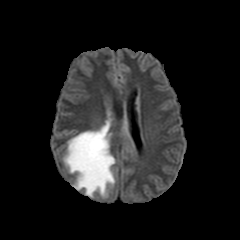
FLAIR MR image.
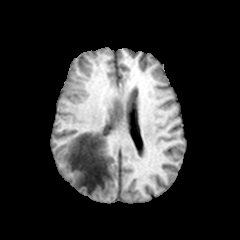
T1-weighted MR image of the same slice.
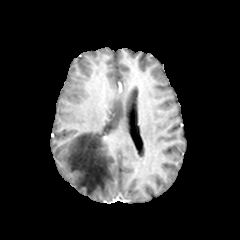
Same slice, post-contrast T1-weighted MRI.
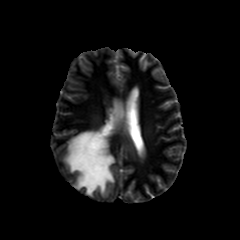
T2-weighted MR.
Brain | Axial slice
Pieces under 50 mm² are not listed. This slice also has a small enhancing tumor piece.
<segmentation>
  <peritumoral_edema><box>63,119,115,197</box></peritumoral_edema>
</segmentation>